FLAIR MRI.
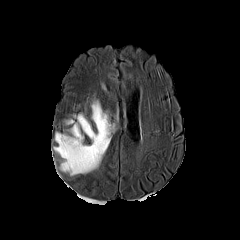
T1-weighted magnetic resonance.
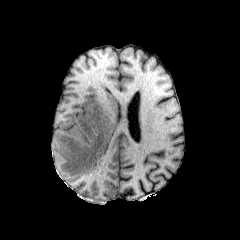
Post-contrast T1-weighted MR image.
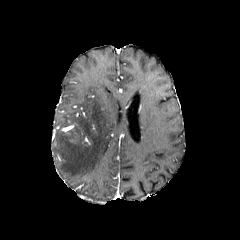
T2-weighted MR.
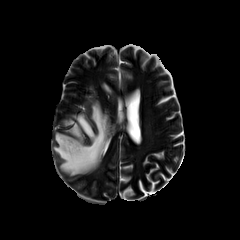
Axial slice, Brain
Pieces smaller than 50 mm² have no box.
peritumoral_edema:
  - <bbox>53, 100, 114, 175</bbox>